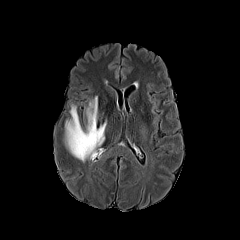
FLAIR magnetic resonance.
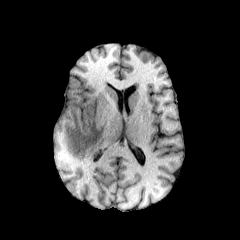
T1-weighted MR.
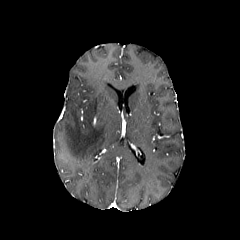
Post-contrast T1-weighted magnetic resonance.
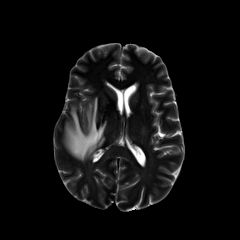
Same slice, T2-weighted MR image.
Brain.
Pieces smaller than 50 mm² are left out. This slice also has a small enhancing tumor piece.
peritumoral edema: x1=64 y1=96 x2=106 y2=161